FLAIR MR image.
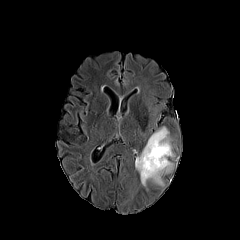
T1-weighted magnetic resonance.
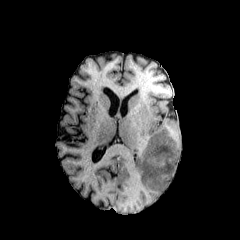
Post-contrast T1-weighted MR image.
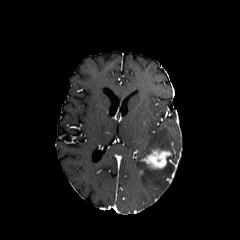
T2-weighted MRI.
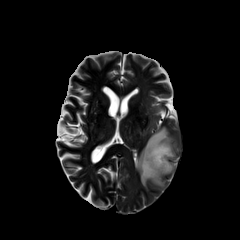
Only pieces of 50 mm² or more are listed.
The largest enhancing tumor region is at x1=141, y1=148, x2=174, y2=169. The largest peritumoral edema region is located at x1=135, y1=127, x2=173, y2=189.